FLAIR magnetic resonance.
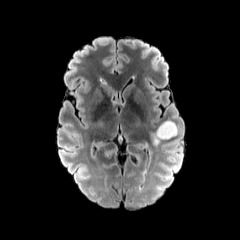
T1-weighted MR image.
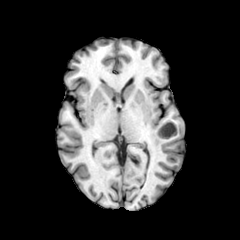
Post-contrast T1-weighted MR image.
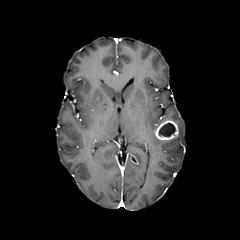
T2-weighted MR image.
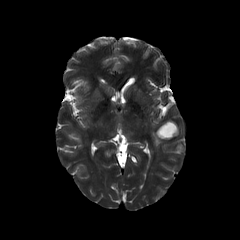
Axial plane
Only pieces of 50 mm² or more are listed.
<segmentation>
  <peritumoral_edema>{"x1": 152, "y1": 133, "x2": 165, "y2": 145}</peritumoral_edema>
  <necrotic_tumor_core>{"x1": 159, "y1": 123, "x2": 175, "y2": 137}</necrotic_tumor_core>
  <enhancing_tumor>{"x1": 155, "y1": 120, "x2": 178, "y2": 139}</enhancing_tumor>
</segmentation>